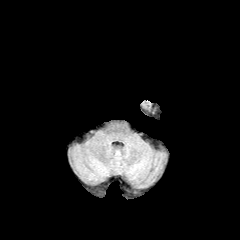
FLAIR magnetic resonance.
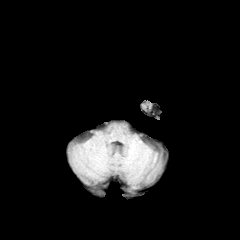
T1-weighted MR.
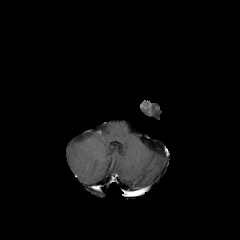
Post-contrast T1-weighted MR image of the same slice.
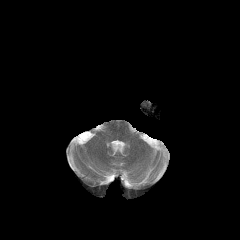
T2-weighted MR image.
Axial plane
* peritumoral edema: 140 100 152 111